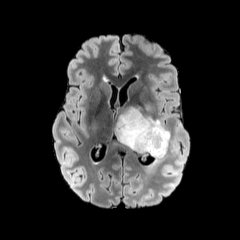
FLAIR MRI.
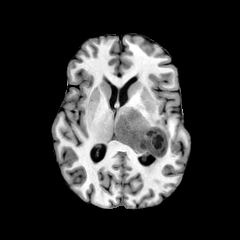
Same slice, T1-weighted MR image.
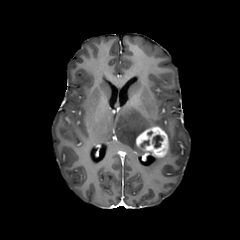
Post-contrast T1-weighted MR image.
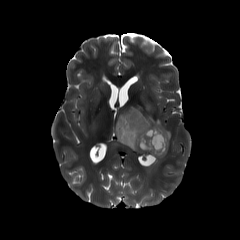
T2-weighted MRI.
Image size 240x240
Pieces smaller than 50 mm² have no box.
enhancing tumor: box(136, 126, 168, 157) | necrotic tumor core: box(152, 135, 162, 148) | peritumoral edema: box(115, 107, 170, 153)